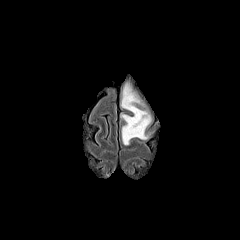
FLAIR magnetic resonance.
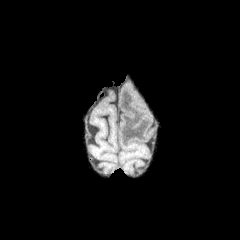
T1-weighted MR.
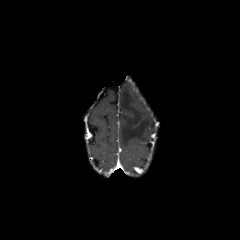
Post-contrast T1-weighted MR of the same slice.
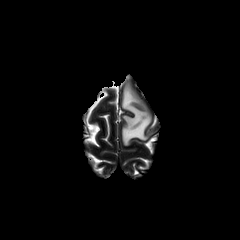
Same slice, T2-weighted MR.
Axial plane. Brain.
Annotated regions:
- peritumoral edema: 120,80,151,145